Head. Image width 240 mm. Axial plane.
FLAIR MR image.
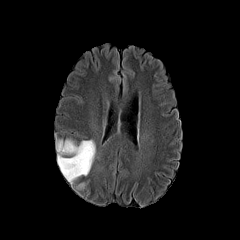
T1-weighted MR image.
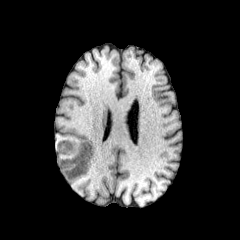
Post-contrast T1-weighted MR image.
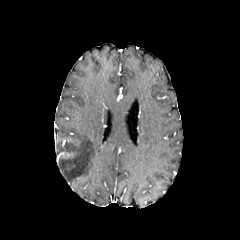
T2-weighted MR image.
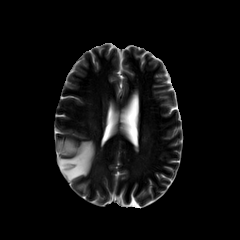
<segmentation>
  <peritumoral_edema>[56,140,95,184], [76,182,87,190]</peritumoral_edema>
</segmentation>